FLAIR MR.
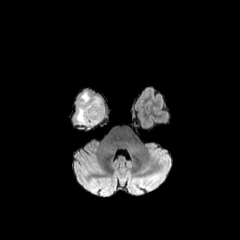
T1-weighted MRI.
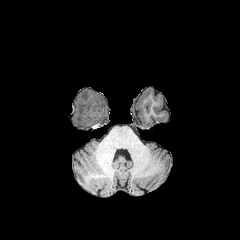
Post-contrast T1-weighted MR image.
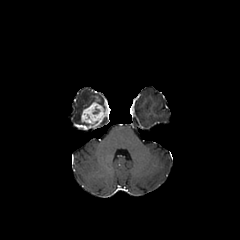
T2-weighted MR image.
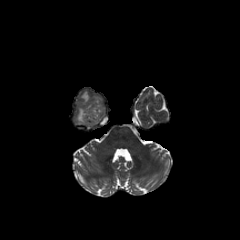
Head
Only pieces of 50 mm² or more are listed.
peritumoral edema at bbox=[74, 91, 106, 124]
enhancing tumor at bbox=[76, 98, 104, 129]
necrotic tumor core at bbox=[90, 105, 100, 116]